FLAIR MR image.
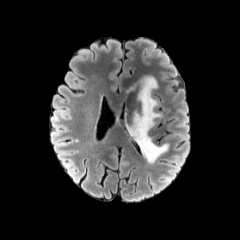
T1-weighted MR.
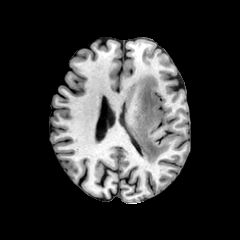
Post-contrast T1-weighted MR.
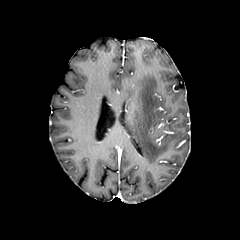
T2-weighted MR image.
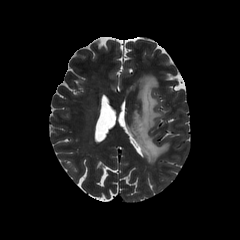
Axial view
Findings:
- peritumoral edema: (x1=129, y1=75, x2=168, y2=163)